Head.
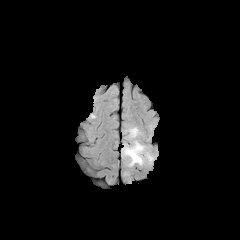
FLAIR MR image.
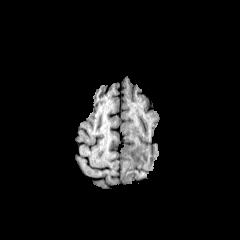
T1-weighted magnetic resonance.
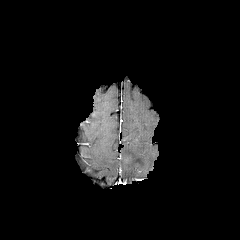
Same slice, post-contrast T1-weighted MR image.
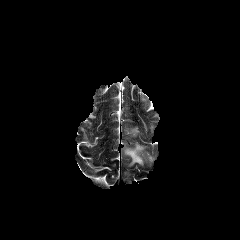
T2-weighted MR image of the same slice.
peritumoral_edema:
  - x1=127, y1=127, x2=139, y2=137
  - x1=122, y1=141, x2=153, y2=166